Axial view | Head
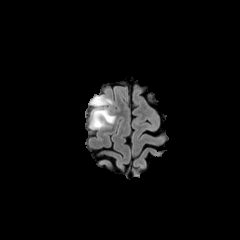
FLAIR MR.
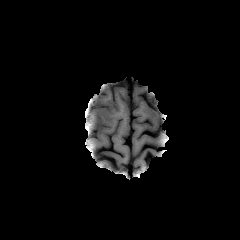
T1-weighted magnetic resonance.
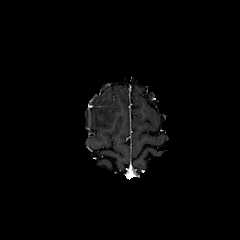
Post-contrast T1-weighted MR image.
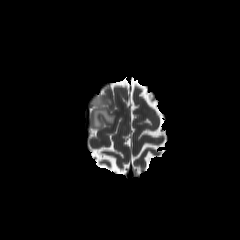
T2-weighted MR.
The peritumoral edema appears at 89:95:115:129.